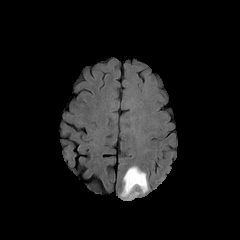
FLAIR MRI.
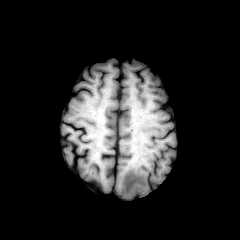
Same slice, T1-weighted MR.
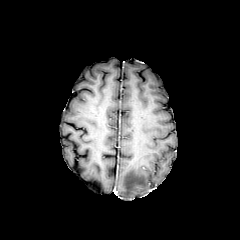
Post-contrast T1-weighted MR image.
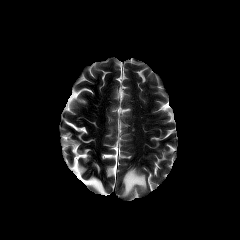
Same slice, T2-weighted MR image.
peritumoral edema at (121,166,147,198)